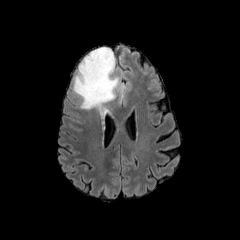
FLAIR MRI.
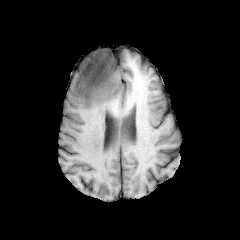
Same slice, T1-weighted MR.
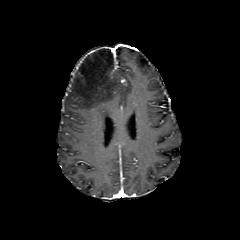
Post-contrast T1-weighted MRI of the same slice.
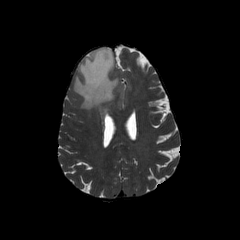
T2-weighted MRI.
Axial slice. Image size 240x240.
peritumoral edema: bounding box rect(72, 47, 122, 119)